Brain
FLAIR MRI.
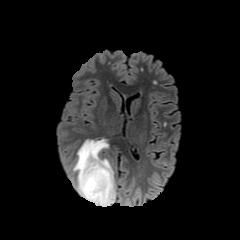
T1-weighted magnetic resonance.
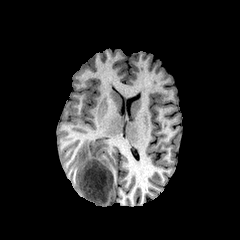
Post-contrast T1-weighted MR.
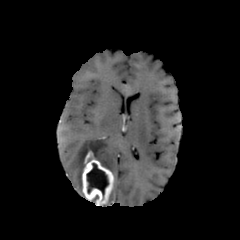
T2-weighted MR.
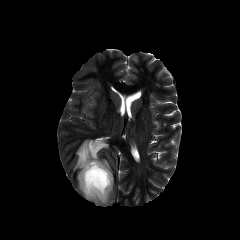
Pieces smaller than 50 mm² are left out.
peritumoral edema = (102,182,115,206), (73,139,113,197)
enhancing tumor = (82,151,114,205)
necrotic tumor core = (87,162,108,196)